FLAIR MRI.
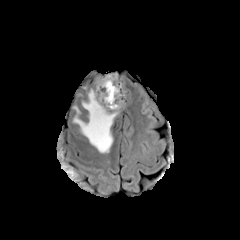
T1-weighted MRI.
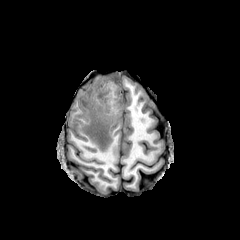
Post-contrast T1-weighted MR image.
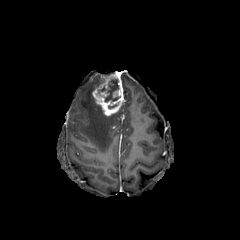
T2-weighted MR.
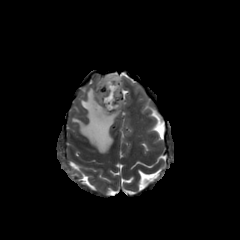
Axial plane
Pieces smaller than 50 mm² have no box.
necrotic tumor core = 105:79:119:102
peritumoral edema = 73:88:119:153
enhancing tumor = 92:73:125:115